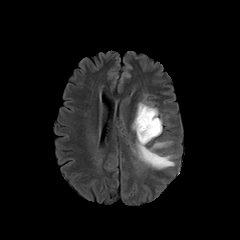
FLAIR MR.
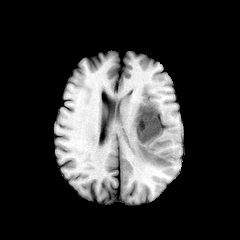
T1-weighted MR of the same slice.
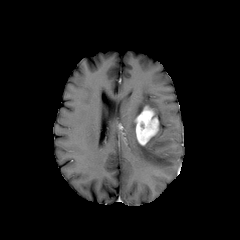
Post-contrast T1-weighted MRI of the same slice.
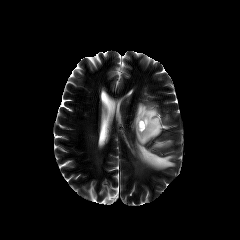
T2-weighted magnetic resonance.
240x240, Brain
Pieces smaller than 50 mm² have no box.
Annotated regions:
* peritumoral edema: (149, 118, 162, 141), (135, 102, 158, 118), (132, 140, 174, 169)
* enhancing tumor: (135, 106, 159, 145)